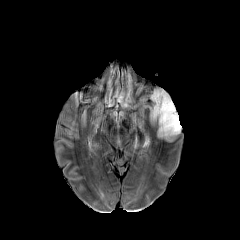
FLAIR MRI.
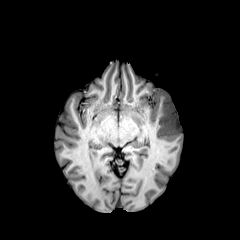
T1-weighted MR image of the same slice.
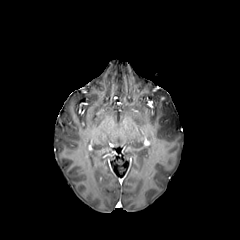
Post-contrast T1-weighted MR image.
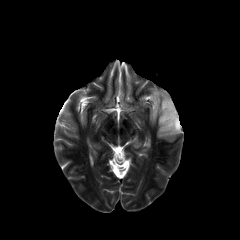
T2-weighted MRI.
Head
peritumoral edema: 152,90,181,137